Head. Axial plane. Slice index 70.
FLAIR MR.
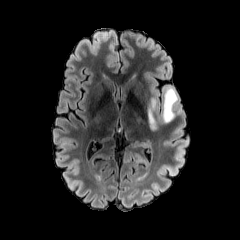
T1-weighted MR image.
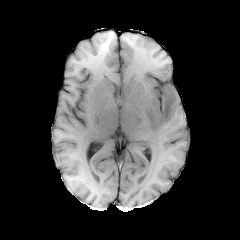
Post-contrast T1-weighted magnetic resonance.
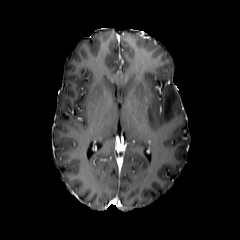
T2-weighted MRI.
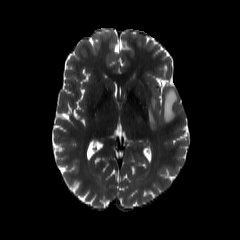
peritumoral edema at {"x1": 148, "y1": 97, "x2": 158, "y2": 130}, {"x1": 162, "y1": 86, "x2": 178, "y2": 122}